Head
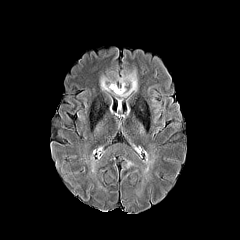
FLAIR MR.
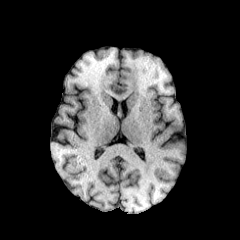
T1-weighted MR.
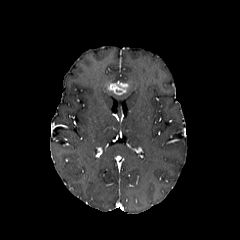
Post-contrast T1-weighted magnetic resonance of the same slice.
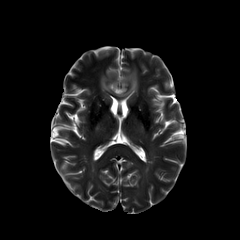
T2-weighted MR image.
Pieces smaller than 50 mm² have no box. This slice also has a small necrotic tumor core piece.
enhancing_tumor:
  - 106:82:128:94
peritumoral_edema:
  - 119:64:137:96
  - 100:75:113:91